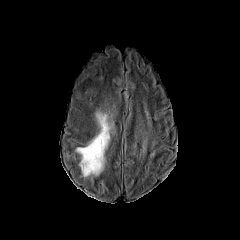
FLAIR MR.
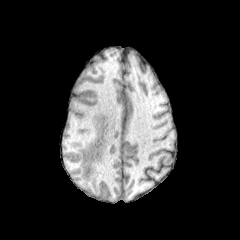
T1-weighted MRI.
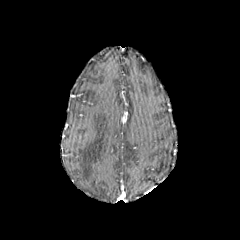
Post-contrast T1-weighted MR.
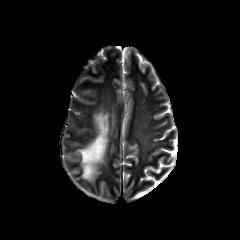
T2-weighted MRI.
Brain.
The peritumoral edema is bounded by bbox(76, 112, 110, 177).